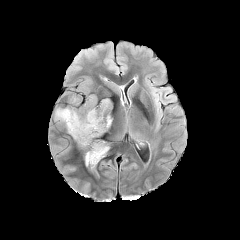
FLAIR magnetic resonance.
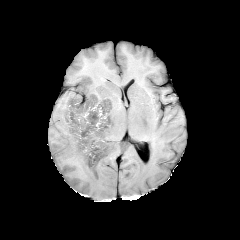
T1-weighted magnetic resonance of the same slice.
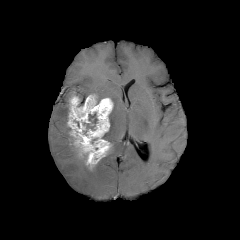
Post-contrast T1-weighted magnetic resonance.
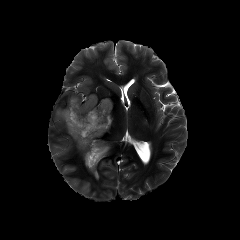
T2-weighted MRI.
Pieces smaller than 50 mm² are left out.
necrotic tumor core = x1=89, y1=113, x2=97, y2=123
enhancing tumor = x1=67, y1=94, x2=112, y2=170
peritumoral edema = x1=55, y1=106, x2=70, y2=133